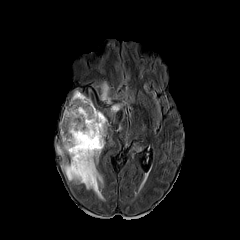
FLAIR MR image.
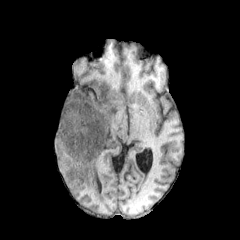
T1-weighted MRI of the same slice.
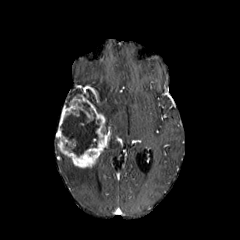
Post-contrast T1-weighted MRI.
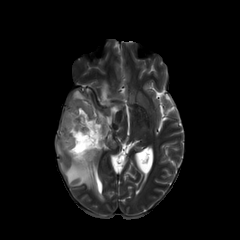
T2-weighted MR image.
240x240 px | Axial view
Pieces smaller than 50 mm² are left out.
{
  "necrotic_tumor_core": [
    "region(61, 110, 99, 156)",
    "region(82, 103, 90, 113)"
  ],
  "peritumoral_edema": [
    "region(100, 81, 110, 103)",
    "region(56, 145, 103, 199)",
    "region(110, 104, 120, 114)"
  ],
  "enhancing_tumor": [
    "region(56, 94, 108, 168)"
  ]
}